FLAIR magnetic resonance.
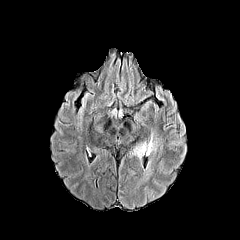
T1-weighted magnetic resonance.
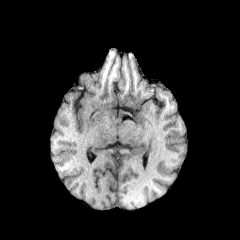
Post-contrast T1-weighted MR.
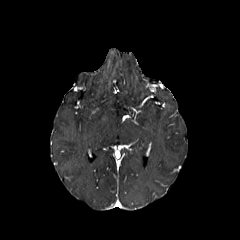
T2-weighted MR image.
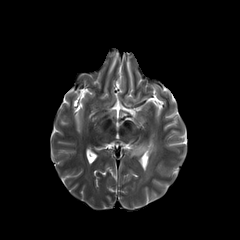
Axial plane, Brain
peritumoral edema: bounding box <box>150,133,157,152</box>, <box>132,142,147,160</box>